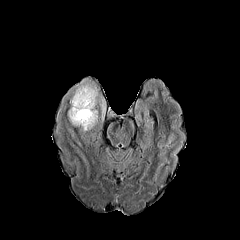
FLAIR magnetic resonance.
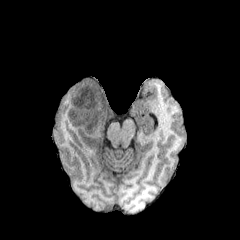
T1-weighted MRI of the same slice.
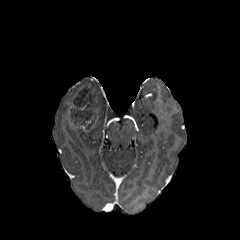
Post-contrast T1-weighted magnetic resonance of the same slice.
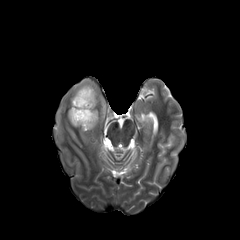
T2-weighted MR image.
240x240
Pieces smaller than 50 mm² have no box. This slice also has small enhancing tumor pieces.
peritumoral edema: left=68, top=79, right=105, bottom=124
necrotic tumor core: left=71, top=86, right=96, bottom=130